FLAIR MR.
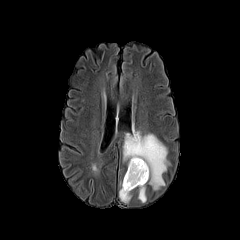
T1-weighted MRI.
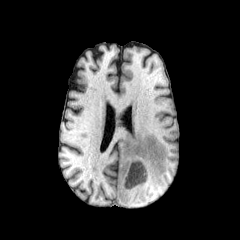
Post-contrast T1-weighted MRI.
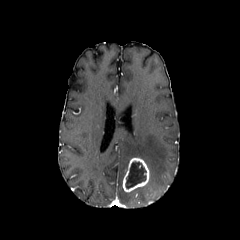
T2-weighted MR.
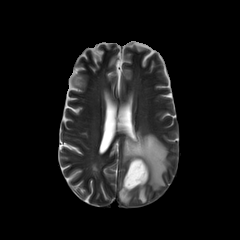
Image size 240x240. Axial slice.
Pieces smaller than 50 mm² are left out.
<segmentation>
  <peritumoral_edema>119,187,131,203; 138,185,146,202; 123,127,169,190</peritumoral_edema>
  <enhancing_tumor>122,157,149,192</enhancing_tumor>
  <necrotic_tumor_core>125,162,146,188</necrotic_tumor_core>
</segmentation>